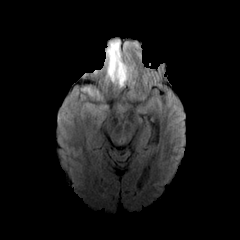
FLAIR MRI.
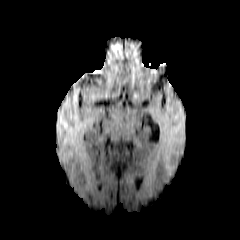
Same slice, T1-weighted MRI.
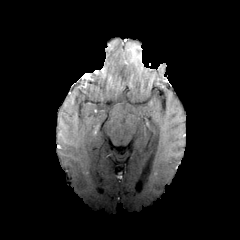
Same slice, post-contrast T1-weighted MR image.
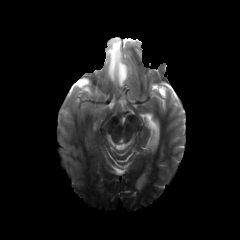
T2-weighted MR image.
Head
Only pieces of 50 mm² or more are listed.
peritumoral edema — [105,40,128,87], [82,86,100,98]